Slice 122 of 155. Image size 240x240.
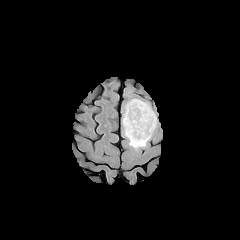
FLAIR MRI.
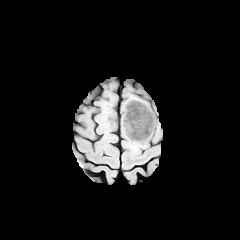
T1-weighted MR of the same slice.
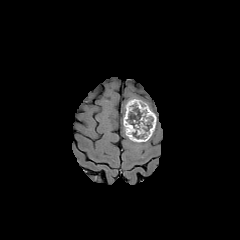
Post-contrast T1-weighted MR of the same slice.
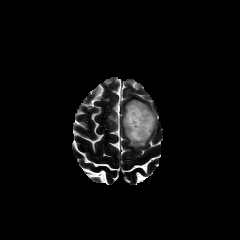
T2-weighted magnetic resonance of the same slice.
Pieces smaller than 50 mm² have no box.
The largest enhancing tumor region appears at rect(123, 99, 156, 142). The largest necrotic tumor core region lies within rect(128, 107, 142, 127). The largest peritumoral edema region appears at rect(128, 138, 147, 148).